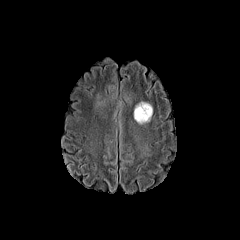
FLAIR MRI.
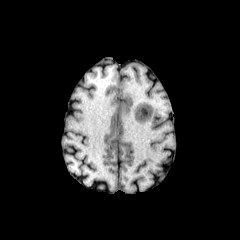
T1-weighted MR image.
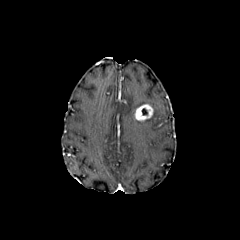
Post-contrast T1-weighted MR of the same slice.
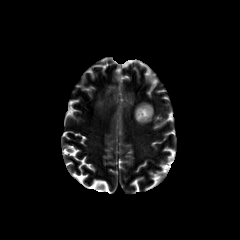
Same slice, T2-weighted magnetic resonance.
Axial plane, Head
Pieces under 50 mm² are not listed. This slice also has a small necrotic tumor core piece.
enhancing_tumor:
  - 135, 104, 153, 121
peritumoral_edema:
  - 134, 102, 150, 118